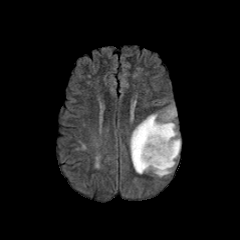
FLAIR MRI.
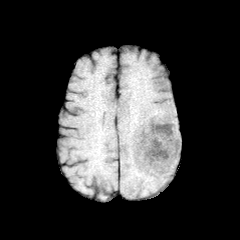
T1-weighted MR image.
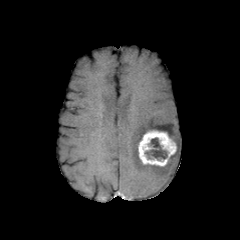
Post-contrast T1-weighted MR image.
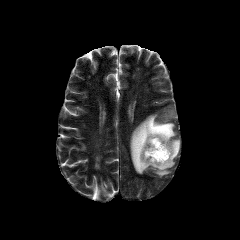
Same slice, T2-weighted MR image.
Image size 240x240
Annotated regions:
• necrotic tumor core: 145:138:167:159
• enhancing tumor: 138:129:177:166
• peritumoral edema: 130:108:180:177